FLAIR MR.
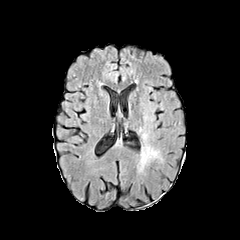
T1-weighted MR image.
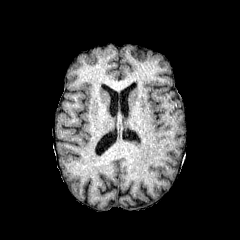
Post-contrast T1-weighted MR image.
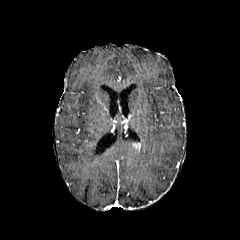
T2-weighted MR.
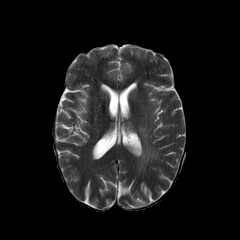
240x240 px, Head
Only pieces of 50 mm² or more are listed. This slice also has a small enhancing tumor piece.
<segmentation>
  <peritumoral_edema><bbox>140, 132, 158, 169</bbox></peritumoral_edema>
</segmentation>